FLAIR magnetic resonance.
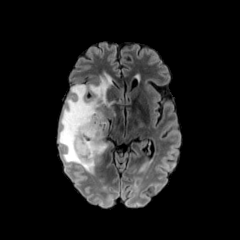
T1-weighted MR.
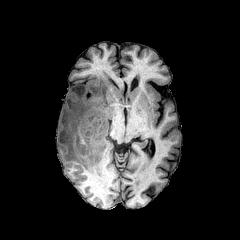
Post-contrast T1-weighted MRI.
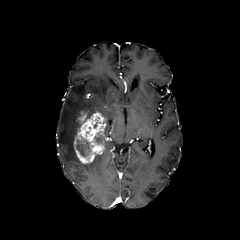
T2-weighted MRI.
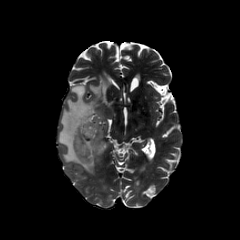
Axial plane; 240x240; Brain
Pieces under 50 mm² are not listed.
peritumoral edema = (left=58, top=73, right=116, bottom=173)
necrotic tumor core = (left=76, top=140, right=89, bottom=157)
enhancing tumor = (left=73, top=111, right=107, bottom=164)